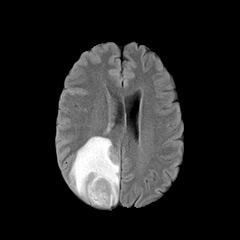
FLAIR magnetic resonance.
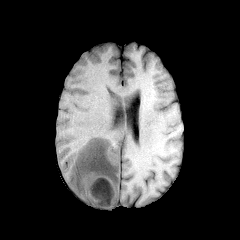
T1-weighted MR image of the same slice.
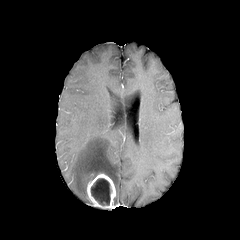
Post-contrast T1-weighted MR image of the same slice.
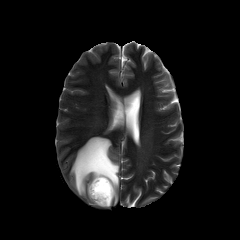
T2-weighted MR image.
necrotic tumor core: 91,178,110,205 | enhancing tumor: 87,173,115,208 | peritumoral edema: 70,136,119,203